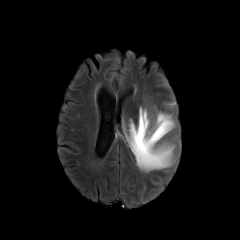
FLAIR MRI.
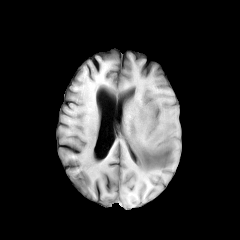
Same slice, T1-weighted MR image.
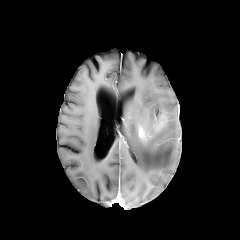
Same slice, post-contrast T1-weighted MR image.
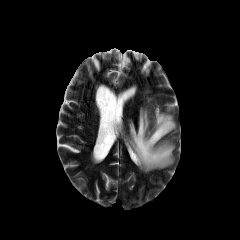
T2-weighted MR of the same slice.
240x240 | Head
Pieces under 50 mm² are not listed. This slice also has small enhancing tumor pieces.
peritumoral_edema:
  - (x1=125, y1=107, x2=175, y2=172)